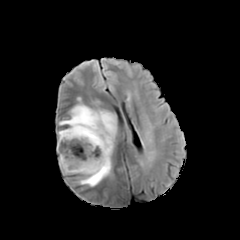
FLAIR MR image.
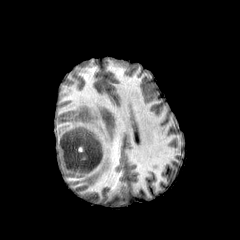
T1-weighted MRI of the same slice.
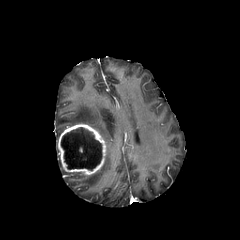
Post-contrast T1-weighted MR image.
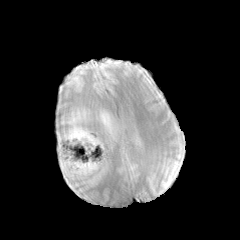
T2-weighted magnetic resonance.
Axial plane. 240x240 px.
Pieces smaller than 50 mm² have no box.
The largest necrotic tumor core region is at (61, 127, 101, 169). The enhancing tumor lies within (56, 124, 106, 175). The 2 largest peritumoral edema regions are bounded by (58, 105, 116, 186), (59, 159, 80, 173).